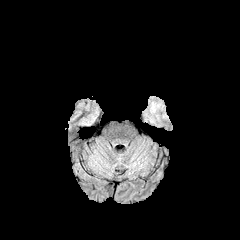
FLAIR MRI.
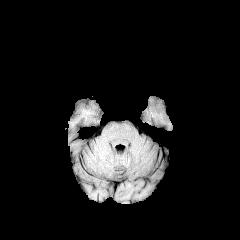
T1-weighted MR.
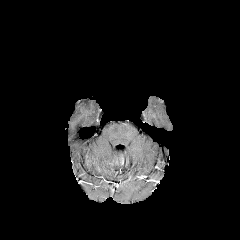
Post-contrast T1-weighted MRI.
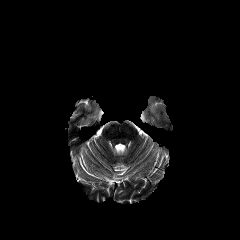
Same slice, T2-weighted MRI.
240x240
<segmentation>
  <peritumoral_edema>[150, 102, 160, 113]</peritumoral_edema>
</segmentation>